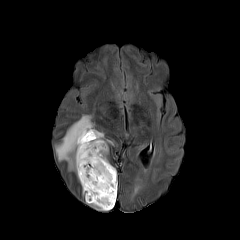
FLAIR MR.
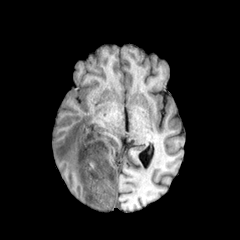
T1-weighted MRI.
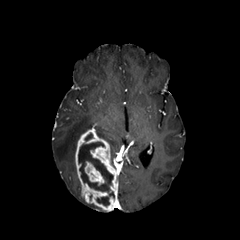
Post-contrast T1-weighted magnetic resonance.
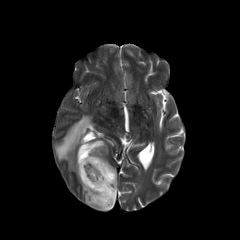
T2-weighted MR image.
Head. Axial view.
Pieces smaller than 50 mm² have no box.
2 enhancing tumor regions are located at [x1=84, y1=161, x2=105, y2=185], [x1=75, y1=128, x2=118, y2=211]. The 2 largest necrotic tumor core regions are bounded by [x1=96, y1=191, x2=114, y2=206], [x1=78, y1=142, x2=113, y2=192]. The 2 largest peritumoral edema regions appear at [x1=55, y1=115, x2=93, y2=172], [x1=96, y1=130, x2=113, y2=145].